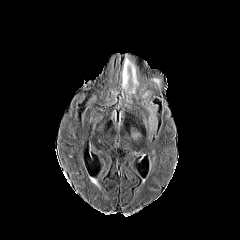
FLAIR MRI.
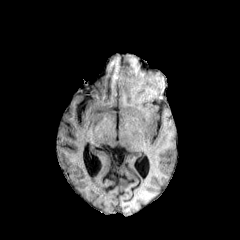
T1-weighted MR image.
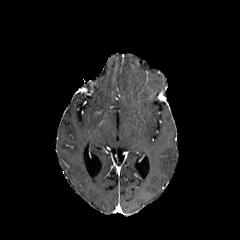
Post-contrast T1-weighted MR image.
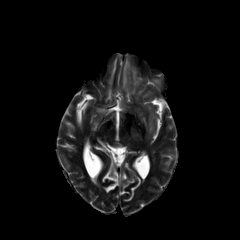
T2-weighted MR of the same slice.
240x240 px, Axial slice, Head
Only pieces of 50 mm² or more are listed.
peritumoral edema — region(122, 57, 138, 93)